Head; Axial view; Image width 240 mm, 1.00 mm slice spacing
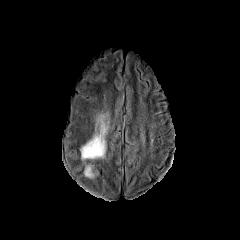
FLAIR MR.
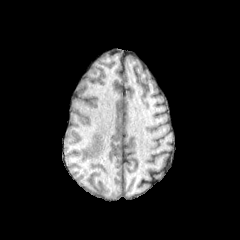
T1-weighted MR image of the same slice.
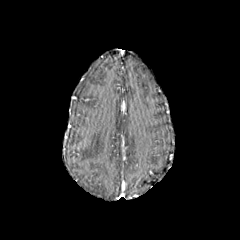
Post-contrast T1-weighted MR.
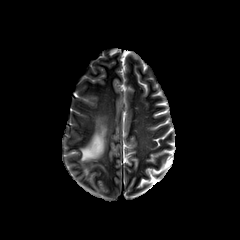
T2-weighted magnetic resonance of the same slice.
2 peritumoral edema regions are bounded by x1=84 y1=166 x2=91 y2=176, x1=81 y1=118 x2=107 y2=160.